FLAIR magnetic resonance.
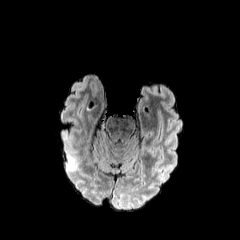
T1-weighted MR image.
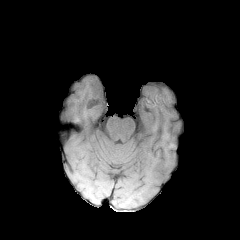
Post-contrast T1-weighted MR image.
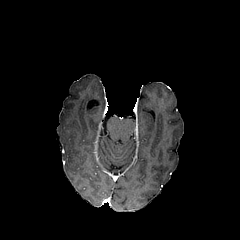
T2-weighted magnetic resonance.
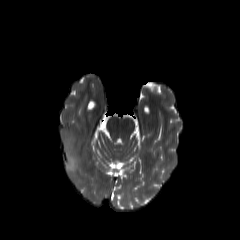
Head; 240x240
peritumoral edema — <box>66,149,77,172</box>